Brain, Axial plane
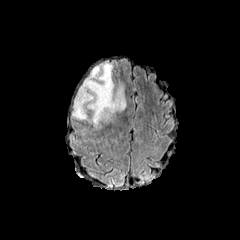
FLAIR MR image.
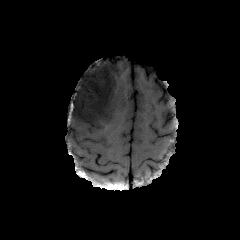
Same slice, T1-weighted MR image.
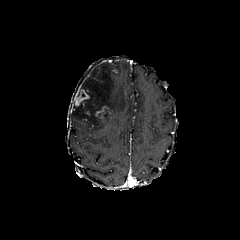
Same slice, post-contrast T1-weighted MR.
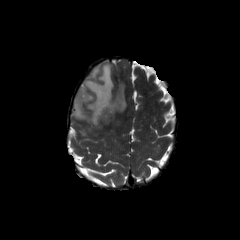
T2-weighted MRI.
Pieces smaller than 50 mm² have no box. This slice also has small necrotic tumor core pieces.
{
  "peritumoral_edema": [
    "left=71, top=62, right=126, bottom=128"
  ],
  "enhancing_tumor": [
    "left=75, top=89, right=90, bottom=107",
    "left=95, top=106, right=112, bottom=120"
  ]
}